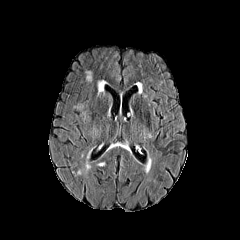
FLAIR MR image.
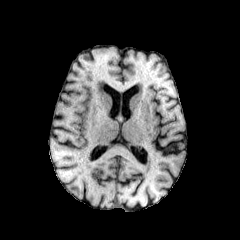
Same slice, T1-weighted MRI.
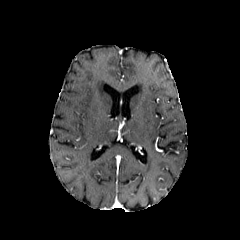
Post-contrast T1-weighted magnetic resonance of the same slice.
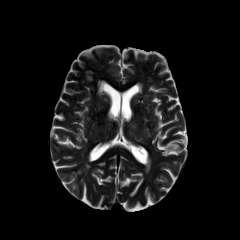
T2-weighted MRI of the same slice.
240x240 px; Head
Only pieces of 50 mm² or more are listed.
<segmentation>
  <peritumoral_edema>x1=98 y1=81 x2=105 y2=93</peritumoral_edema>
</segmentation>